FLAIR magnetic resonance.
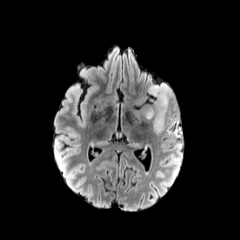
T1-weighted MRI.
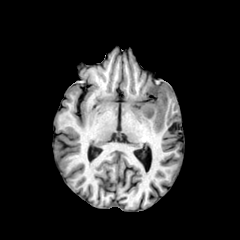
Post-contrast T1-weighted MR.
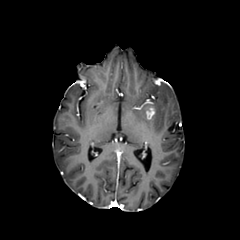
T2-weighted MR.
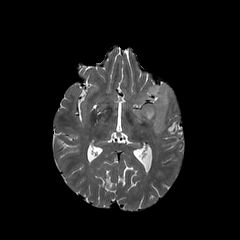
Image size 240x240; Brain
enhancing tumor — [146, 107, 154, 119]
peritumoral edema — [136, 84, 171, 132]